Head. Axial slice.
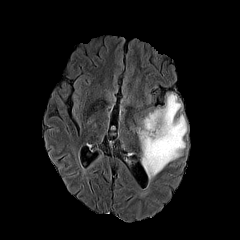
FLAIR MR.
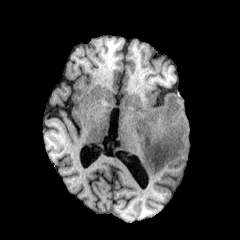
T1-weighted MR image.
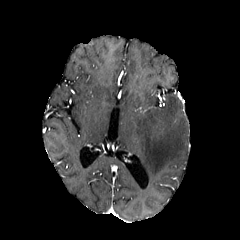
Post-contrast T1-weighted magnetic resonance.
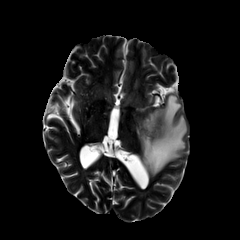
T2-weighted MR of the same slice.
Segmented structures:
* peritumoral edema: 137, 94, 187, 179